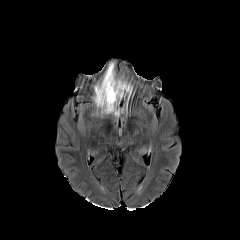
FLAIR MR image.
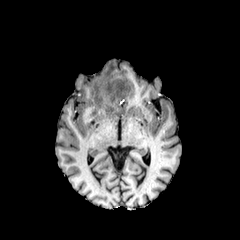
Same slice, T1-weighted MR.
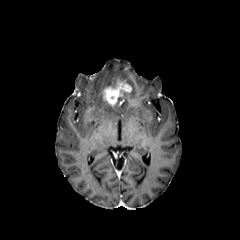
Same slice, post-contrast T1-weighted MR.
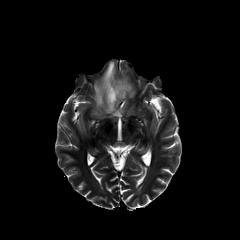
T2-weighted MR image.
Axial slice
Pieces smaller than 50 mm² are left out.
Segmented structures:
- enhancing tumor: (101,79,131,107)
- peritumoral edema: (93,62,121,116)